Image width 240 mm. Slice 68 of 155.
FLAIR magnetic resonance.
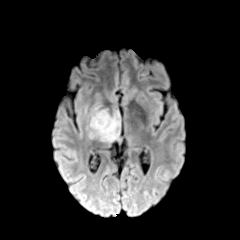
T1-weighted MRI.
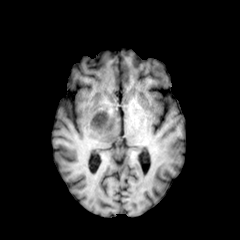
Post-contrast T1-weighted magnetic resonance.
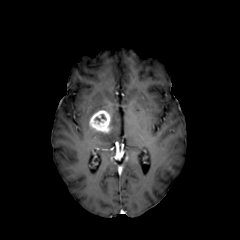
T2-weighted magnetic resonance.
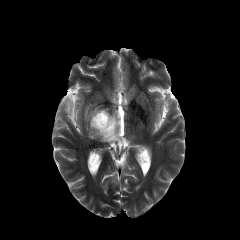
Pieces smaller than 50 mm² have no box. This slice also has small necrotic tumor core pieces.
The 2 largest peritumoral edema regions appear at 87:111:120:142, 88:107:99:121. The enhancing tumor lies within 89:110:111:132.